Brain, Slice 82/155, Image covers 240 mm x 240 mm
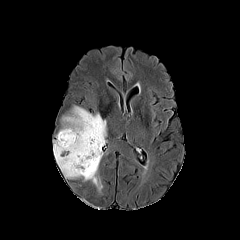
FLAIR MRI.
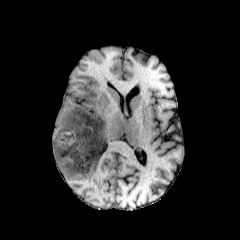
Same slice, T1-weighted MRI.
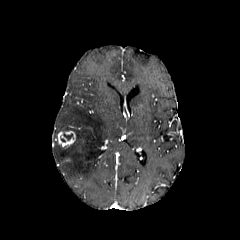
Same slice, post-contrast T1-weighted magnetic resonance.
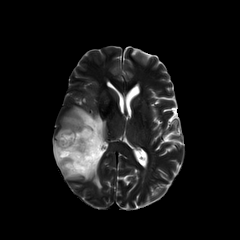
Same slice, T2-weighted MRI.
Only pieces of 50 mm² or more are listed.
The largest enhancing tumor region appears at 58:130:75:147. The largest necrotic tumor core region is at 62:133:73:140. The largest peritumoral edema region is at 53:106:106:186.